FLAIR magnetic resonance.
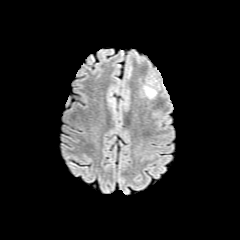
T1-weighted magnetic resonance.
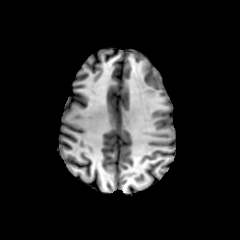
Post-contrast T1-weighted magnetic resonance.
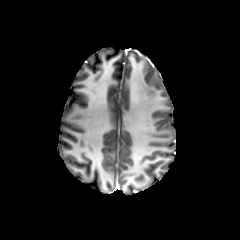
T2-weighted MR image.
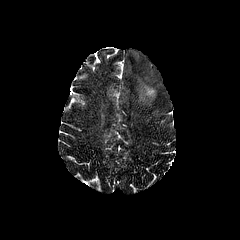
Head, 240x240
Findings:
• peritumoral edema: 146, 87, 155, 97